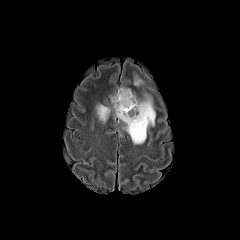
FLAIR magnetic resonance.
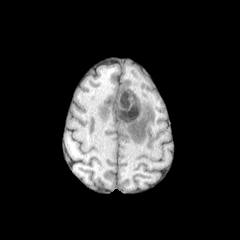
T1-weighted MR.
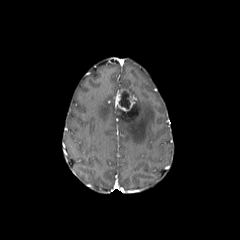
Post-contrast T1-weighted MR image.
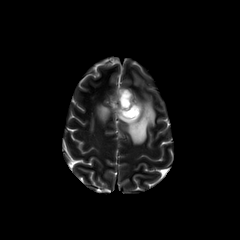
Same slice, T2-weighted MR image.
Axial plane
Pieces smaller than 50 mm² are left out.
peritumoral edema = (97, 105, 110, 122), (114, 96, 155, 144)
enhancing tumor = (114, 90, 134, 111)
necrotic tumor core = (119, 90, 130, 108)